Brain, Slice 104 of 155, Image size 240x240
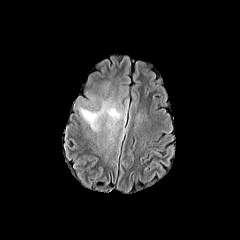
FLAIR MR.
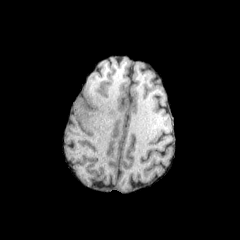
Same slice, T1-weighted MR.
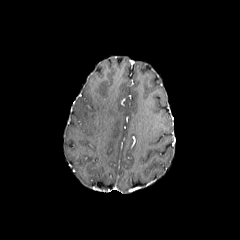
Same slice, post-contrast T1-weighted MR image.
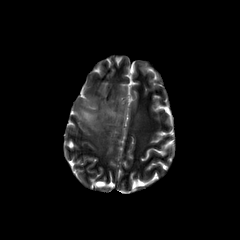
T2-weighted MR.
{"peritumoral_edema": ["x1=77, y1=100, x2=127, y2=132", "x1=88, y1=96, x2=95, y2=106"]}